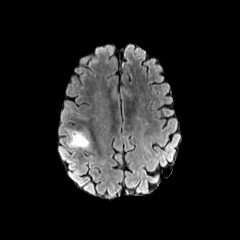
FLAIR MR image.
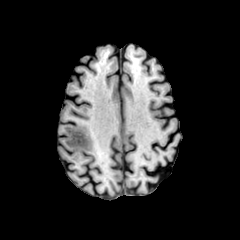
T1-weighted MR image of the same slice.
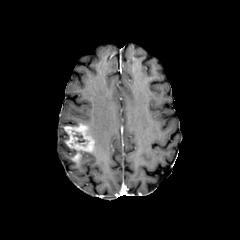
Post-contrast T1-weighted magnetic resonance.
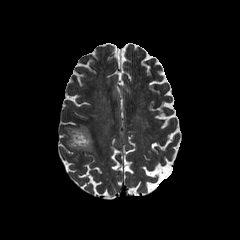
T2-weighted MR image.
Axial slice
necrotic_tumor_core:
  - region(73, 133, 85, 142)
enhancing_tumor:
  - region(64, 124, 94, 162)